Slice 124 of 155, Axial view, Image width 240 mm
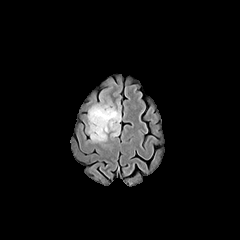
FLAIR magnetic resonance.
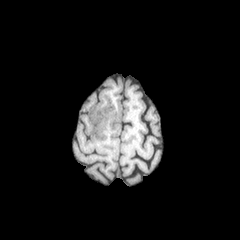
T1-weighted MRI.
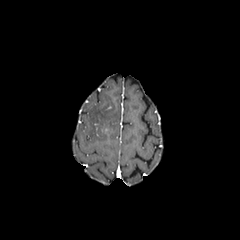
Same slice, post-contrast T1-weighted MRI.
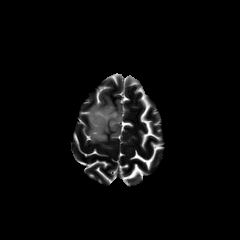
T2-weighted MR image.
The peritumoral edema is bounded by l=88, t=103, r=120, b=144.